FLAIR MRI.
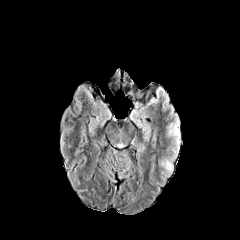
T1-weighted MR.
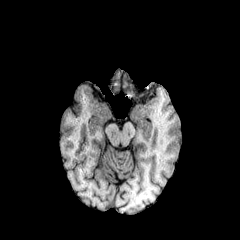
Post-contrast T1-weighted MRI.
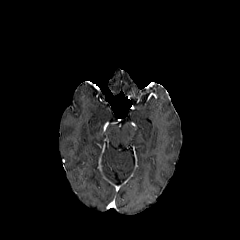
T2-weighted MR image.
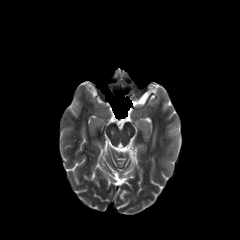
2 peritumoral edema regions are bounded by x1=161 y1=160 x2=172 y2=171, x1=168 y1=122 x2=179 y2=144.